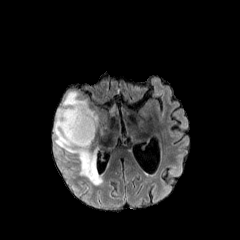
FLAIR magnetic resonance.
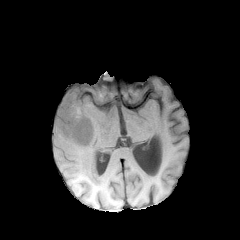
T1-weighted MR.
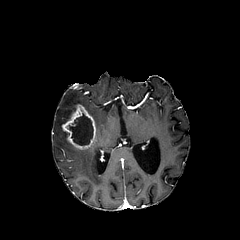
Post-contrast T1-weighted MRI.
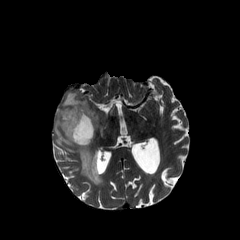
T2-weighted MR of the same slice.
Brain; 240x240
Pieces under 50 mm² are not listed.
enhancing tumor — bbox(62, 104, 95, 150)
necrotic tumor core — bbox(66, 113, 93, 145)
peritumoral edema — bbox(54, 91, 102, 185)